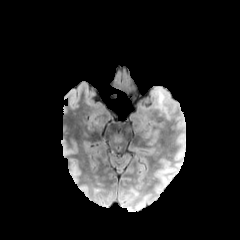
FLAIR MRI.
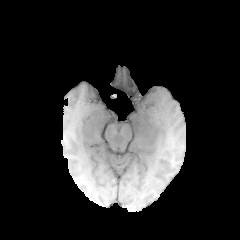
T1-weighted MR image of the same slice.
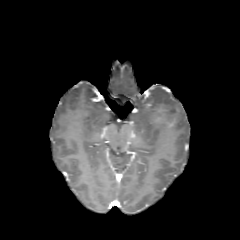
Post-contrast T1-weighted MR.
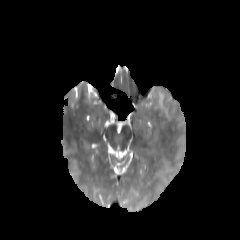
T2-weighted MR image of the same slice.
Brain; 240x240
peritumoral edema — (155, 88, 170, 110)